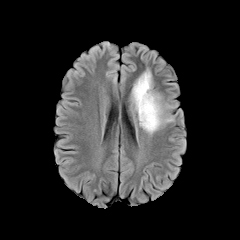
FLAIR MR image.
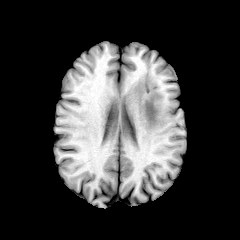
T1-weighted MR of the same slice.
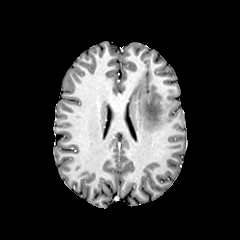
Same slice, post-contrast T1-weighted magnetic resonance.
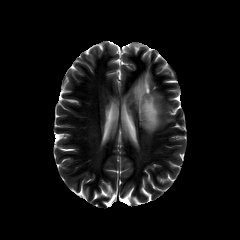
T2-weighted MRI.
240x240 px.
Findings:
• peritumoral edema: [132, 70, 173, 134]